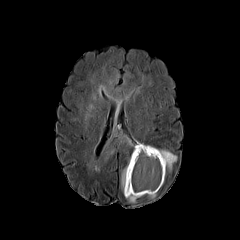
FLAIR MRI.
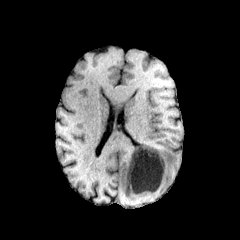
T1-weighted MR.
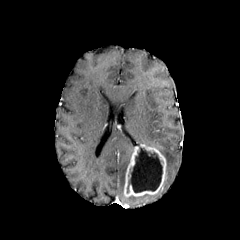
Post-contrast T1-weighted magnetic resonance.
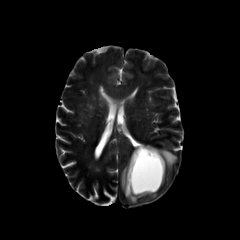
T2-weighted MRI.
Brain | Axial plane
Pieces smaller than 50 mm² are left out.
The enhancing tumor is bounded by 124:144:166:196. The 4 largest peritumoral edema regions are located at 91:134:134:168, 158:149:177:170, 121:167:126:192, 126:196:139:202. The necrotic tumor core is at 127:147:162:192.